FLAIR magnetic resonance.
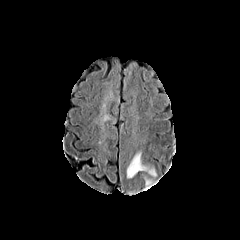
T1-weighted MR.
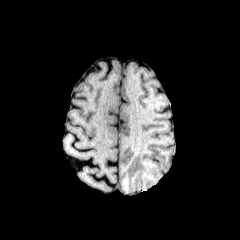
Post-contrast T1-weighted MRI.
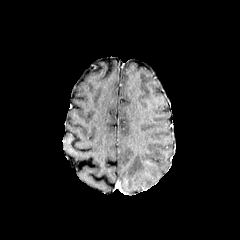
T2-weighted MRI.
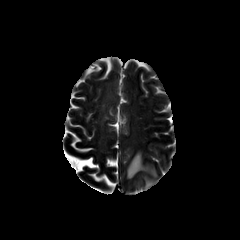
Brain | Axial view
* peritumoral edema: 127, 153, 156, 178; 145, 178, 152, 188